Image size 240x240; Image width 240 mm, 1.00 mm slice spacing
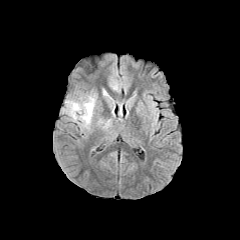
FLAIR MRI.
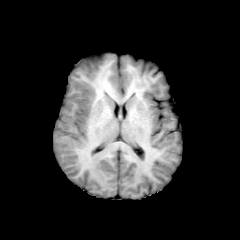
Same slice, T1-weighted MR image.
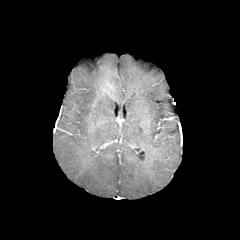
Post-contrast T1-weighted MR image of the same slice.
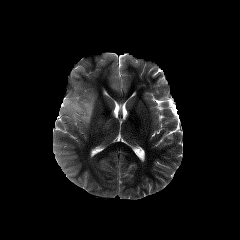
Same slice, T2-weighted MR image.
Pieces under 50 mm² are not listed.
<segmentation>
  <peritumoral_edema>(64, 96, 95, 127)</peritumoral_edema>
</segmentation>